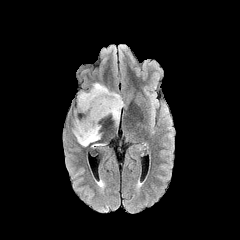
FLAIR MRI.
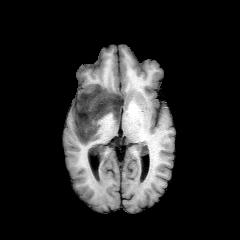
Same slice, T1-weighted magnetic resonance.
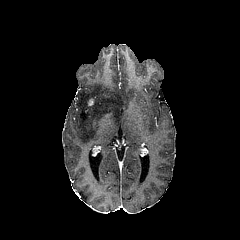
Post-contrast T1-weighted magnetic resonance.
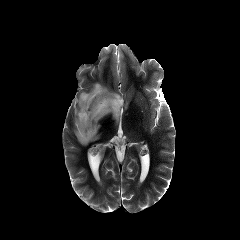
T2-weighted magnetic resonance.
Image size 240x240
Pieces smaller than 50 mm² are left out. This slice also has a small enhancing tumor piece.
The largest peritumoral edema region is bounded by bbox(72, 83, 124, 146).